240x240 px | Axial view
FLAIR MRI.
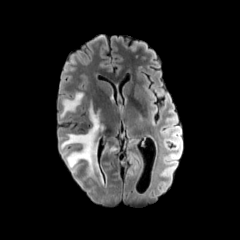
T1-weighted MR.
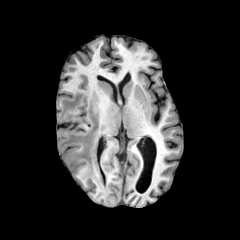
Post-contrast T1-weighted MRI.
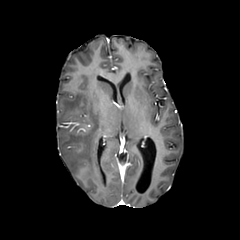
T2-weighted magnetic resonance.
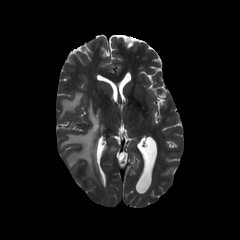
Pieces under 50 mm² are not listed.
The 2 largest peritumoral edema regions are bounded by x1=60, y1=100, x2=105, y2=175; x1=60, y1=92, x2=84, y2=117.